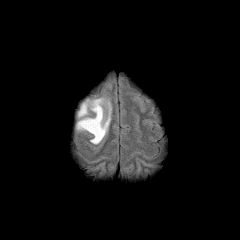
FLAIR MR.
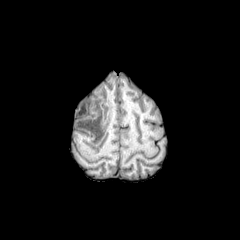
T1-weighted MR of the same slice.
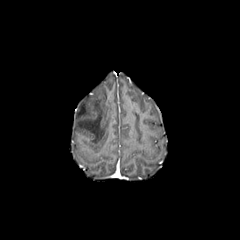
Same slice, post-contrast T1-weighted MR image.
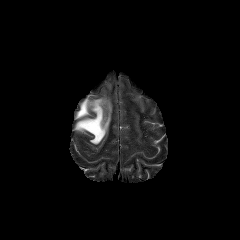
T2-weighted MR.
Head; 240x240 px
The peritumoral edema is at [x1=76, y1=98, x2=111, y2=144].